FLAIR magnetic resonance.
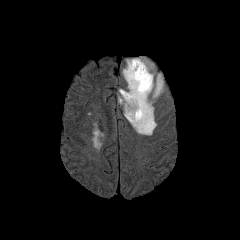
T1-weighted MRI.
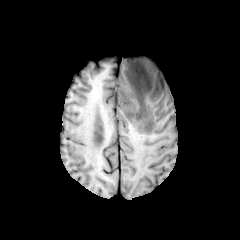
Post-contrast T1-weighted MRI.
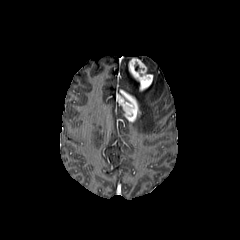
T2-weighted MR image.
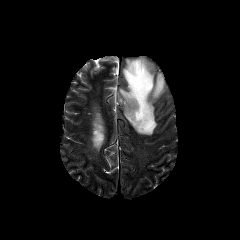
Head
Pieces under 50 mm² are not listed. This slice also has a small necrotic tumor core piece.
<segmentation>
  <enhancing_tumor>(117,90,140,121), (128,58,153,90)</enhancing_tumor>
  <peritumoral_edema>(122,59,164,135), (137,58,154,75)</peritumoral_edema>
</segmentation>